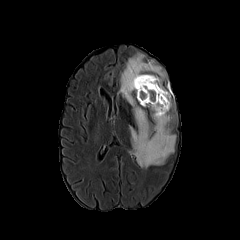
FLAIR MRI.
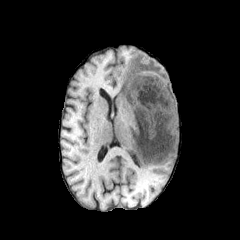
Same slice, T1-weighted MR.
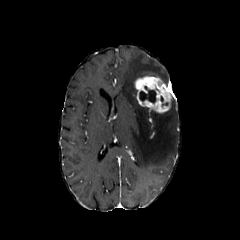
Same slice, post-contrast T1-weighted magnetic resonance.
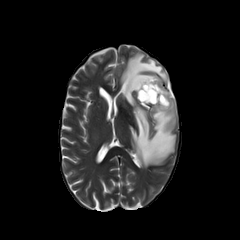
Same slice, T2-weighted MR image.
Image size 240x240; Brain
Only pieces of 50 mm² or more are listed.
peritumoral edema = l=118, t=53, r=176, b=168
enhancing tumor = l=134, t=76, r=174, b=113
necrotic tumor core = l=139, t=86, r=156, b=102